FLAIR magnetic resonance.
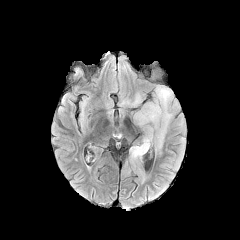
T1-weighted MR image.
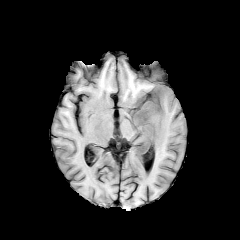
Post-contrast T1-weighted magnetic resonance.
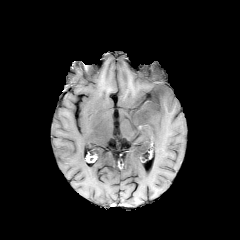
T2-weighted MRI.
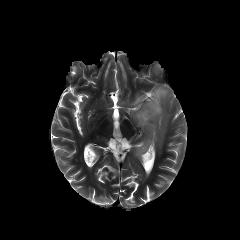
{"peritumoral_edema": ["<box>129,82,179,154</box>"]}